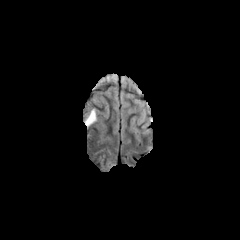
FLAIR MR image.
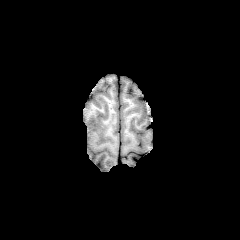
T1-weighted MR image.
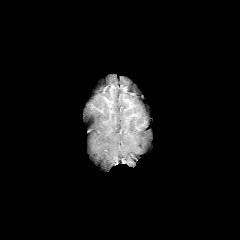
Same slice, post-contrast T1-weighted MR image.
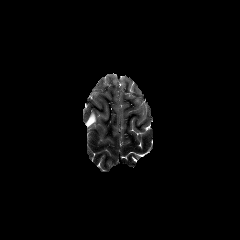
T2-weighted magnetic resonance.
Head. 240x240.
- peritumoral edema: x1=85, y1=109, x2=96, y2=126